FLAIR MR image.
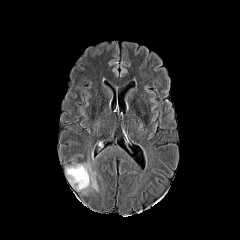
T1-weighted MRI.
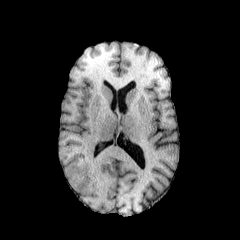
Post-contrast T1-weighted MRI.
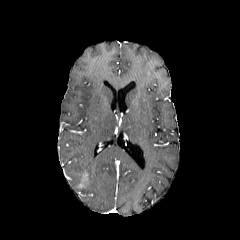
T2-weighted MR.
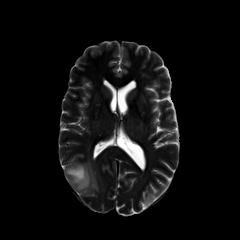
240x240 px; Axial plane
enhancing tumor — region(77, 171, 88, 188)
peritumoral edema — region(66, 162, 98, 193)